Brain | Slice index 83 | Axial slice
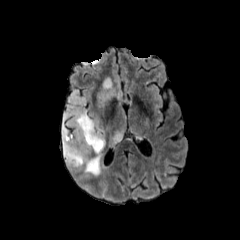
FLAIR MR.
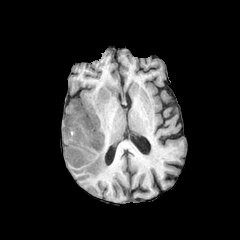
T1-weighted MRI.
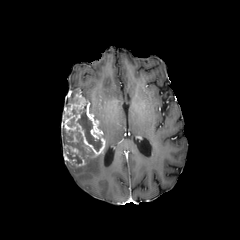
Same slice, post-contrast T1-weighted MRI.
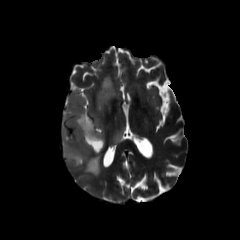
Same slice, T2-weighted MRI.
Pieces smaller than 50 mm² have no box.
The enhancing tumor lies within (61,95,105,166). The 3 largest necrotic tumor core regions appear at (77,106,101,151), (67,148,81,163), (63,136,79,149). The 4 largest peritumoral edema regions are located at (66,90,78,107), (108,123,125,149), (83,148,107,176), (95,76,117,111).